FLAIR MR image.
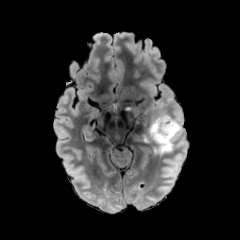
T1-weighted MR.
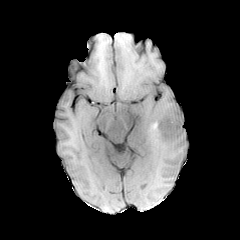
Post-contrast T1-weighted MRI.
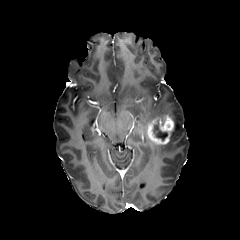
T2-weighted MR image.
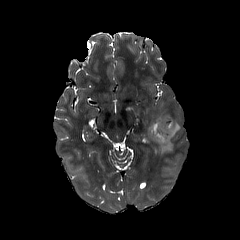
Axial plane
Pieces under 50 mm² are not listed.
The largest necrotic tumor core region appears at (154,120,167,140). The 2 largest peritumoral edema regions appear at (142,119,152,131), (154,111,182,155). The enhancing tumor is bounded by (142,114,174,145).